FLAIR magnetic resonance.
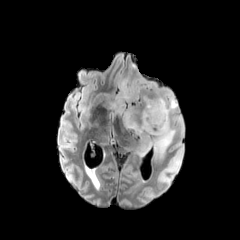
T1-weighted MRI.
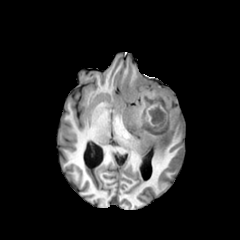
Post-contrast T1-weighted magnetic resonance.
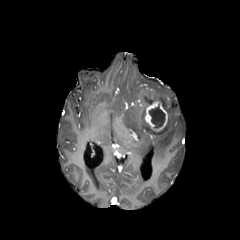
T2-weighted MR image.
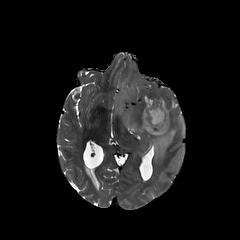
Head
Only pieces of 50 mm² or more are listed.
{
  "necrotic_tumor_core": [
    "149:104:165:128"
  ],
  "peritumoral_edema": [
    "111:77:183:158"
  ],
  "enhancing_tumor": [
    "144:98:167:131"
  ]
}